Image size 240x240. Image covers 240 mm x 240 mm.
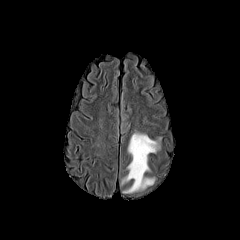
FLAIR magnetic resonance.
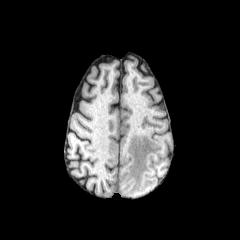
T1-weighted MR.
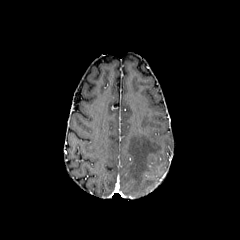
Post-contrast T1-weighted magnetic resonance of the same slice.
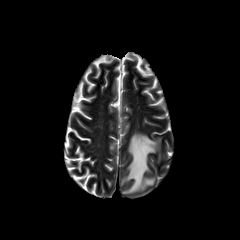
Same slice, T2-weighted magnetic resonance.
The peritumoral edema is located at (left=122, top=132, right=160, bottom=193).